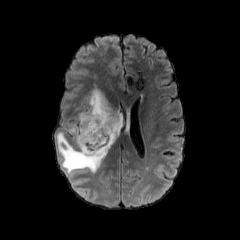
FLAIR MRI.
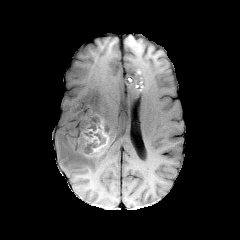
T1-weighted MR image.
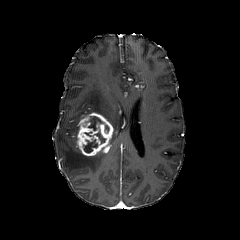
Same slice, post-contrast T1-weighted MR image.
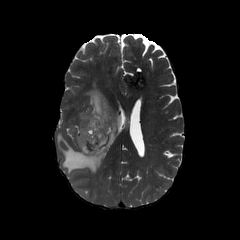
T2-weighted MR image.
240x240; Head
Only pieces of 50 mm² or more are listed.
peritumoral edema: bounding box x1=57 y1=132 x2=106 y2=173, x1=69 y1=126 x2=78 y2=143, x1=78 y1=88 x2=124 y2=144
necrotic tumor core: bounding box x1=83 y1=139 x2=97 y2=152, x1=88 y1=116 x2=103 y2=130, x1=95 y1=131 x2=105 y2=143
enhancing tumor: bounding box x1=76 y1=112 x2=113 y2=156